FLAIR MR image.
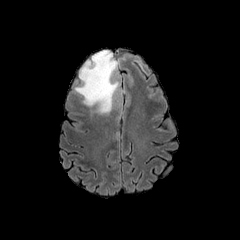
T1-weighted MR image.
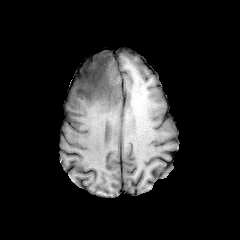
Post-contrast T1-weighted MR image.
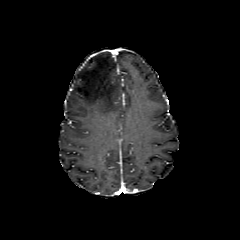
T2-weighted MRI.
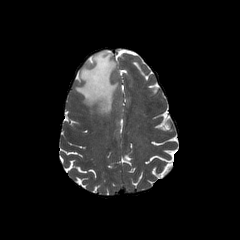
240x240
peritumoral edema: (74, 50, 119, 114)